Slice index 92. Brain. Axial plane.
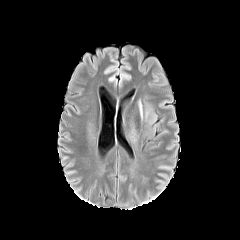
FLAIR MR image.
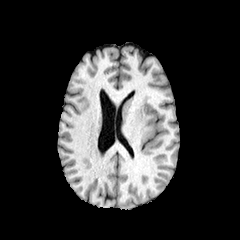
T1-weighted MR.
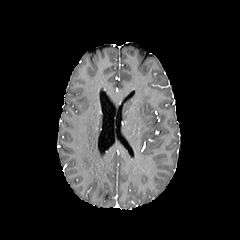
Same slice, post-contrast T1-weighted MR image.
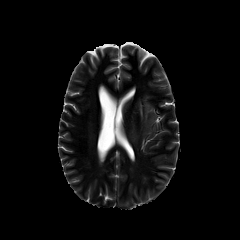
Same slice, T2-weighted MRI.
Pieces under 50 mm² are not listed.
The 2 largest peritumoral edema regions appear at (145, 103, 157, 123), (129, 125, 137, 142).